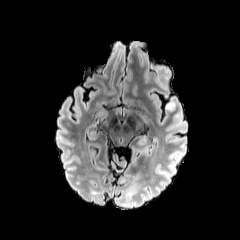
FLAIR MR.
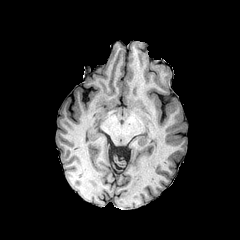
T1-weighted MR image.
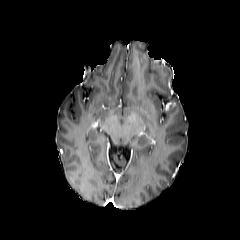
Post-contrast T1-weighted MRI.
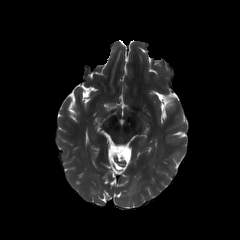
T2-weighted magnetic resonance.
Axial slice.
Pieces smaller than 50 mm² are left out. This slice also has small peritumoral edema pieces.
- enhancing tumor: <bbox>166, 102, 175, 109</bbox>